Slice index 90. Image size 240x240.
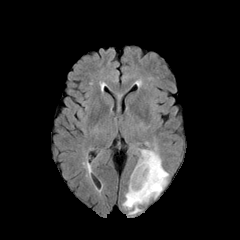
FLAIR MRI.
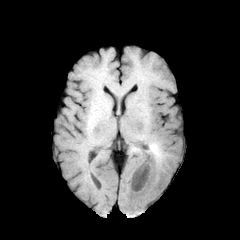
T1-weighted MR.
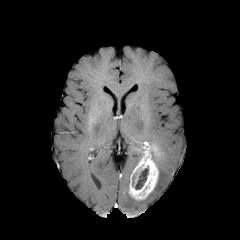
Post-contrast T1-weighted MR.
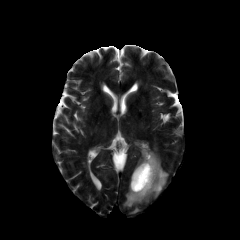
T2-weighted MRI of the same slice.
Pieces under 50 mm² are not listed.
Annotated regions:
- enhancing tumor: [129,141,158,200]
- peritumoral edema: [123,145,168,213]
- necrotic tumor core: [135,166,148,189]